Axial slice.
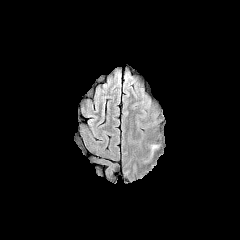
FLAIR magnetic resonance.
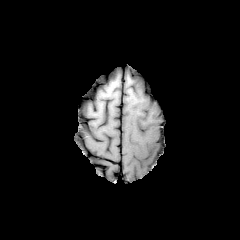
T1-weighted MR image.
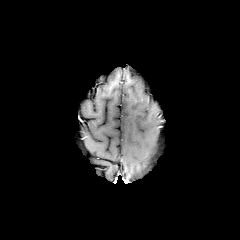
Post-contrast T1-weighted MR.
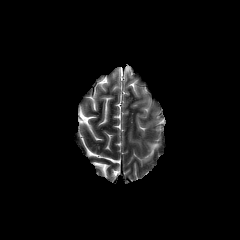
Same slice, T2-weighted MR.
• peritumoral edema: <bbox>150, 144, 159, 156</bbox>